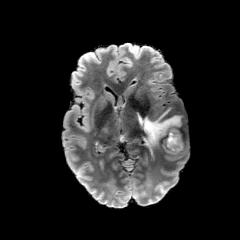
FLAIR MRI.
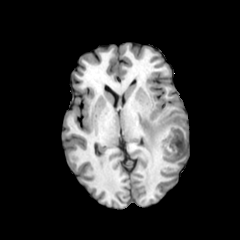
Same slice, T1-weighted MRI.
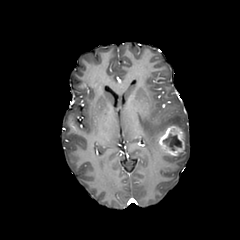
Post-contrast T1-weighted MR image.
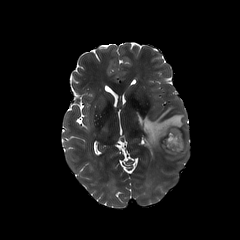
T2-weighted MRI.
240x240
peritumoral edema: (x1=170, y1=142, x2=187, y2=157), (x1=137, y1=108, x2=182, y2=150)
enhancing tumor: (x1=159, y1=126, x2=184, y2=156)
necrotic tumor core: (x1=163, y1=133, x2=181, y2=150)